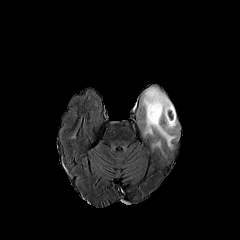
FLAIR MRI.
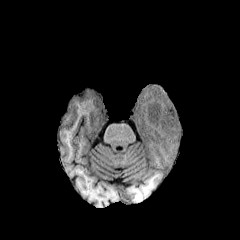
Same slice, T1-weighted magnetic resonance.
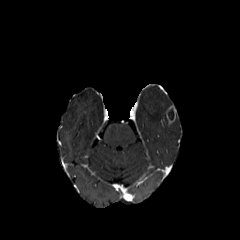
Post-contrast T1-weighted MR image of the same slice.
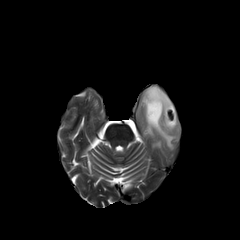
T2-weighted MR image.
The enhancing tumor lies within 166:105:175:125. 2 peritumoral edema regions appear at 140:86:179:149, 152:140:161:148. The necrotic tumor core appears at 168:109:173:119.